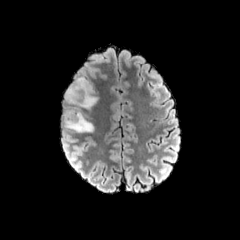
FLAIR magnetic resonance.
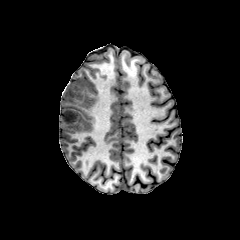
T1-weighted magnetic resonance.
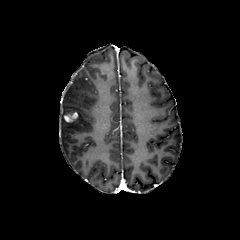
Post-contrast T1-weighted MR image of the same slice.
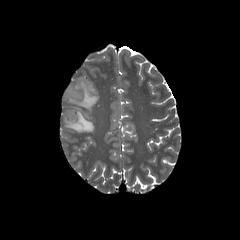
T2-weighted MRI.
Brain; Axial slice
peritumoral edema: 62, 76, 98, 132
enhancing tumor: 64, 112, 78, 122